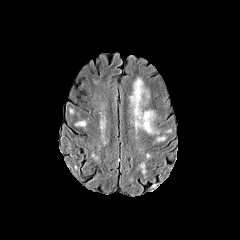
FLAIR magnetic resonance.
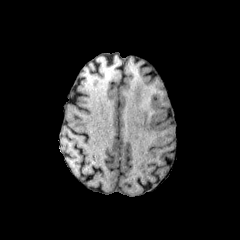
T1-weighted MR.
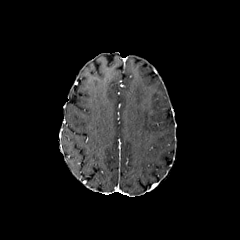
Same slice, post-contrast T1-weighted MRI.
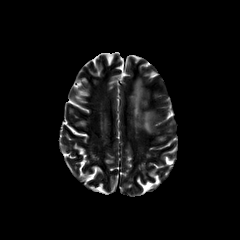
Same slice, T2-weighted MR.
Brain
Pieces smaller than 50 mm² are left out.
peritumoral_edema:
  - (130, 78, 158, 133)